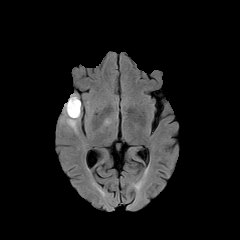
FLAIR magnetic resonance.
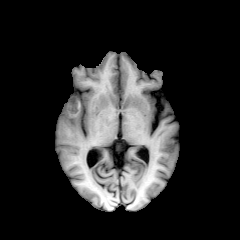
T1-weighted MRI.
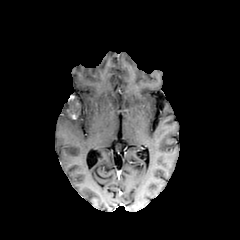
Post-contrast T1-weighted magnetic resonance of the same slice.
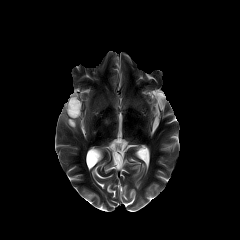
T2-weighted magnetic resonance.
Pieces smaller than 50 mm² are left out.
<segmentation>
  <necrotic_tumor_core>x1=67 y1=98 x2=79 y2=114</necrotic_tumor_core>
  <peritumoral_edema>x1=62 y1=94 x2=81 y2=131</peritumoral_edema>
  <enhancing_tumor>x1=67 y1=107 x2=77 y2=119</enhancing_tumor>
</segmentation>